FLAIR MR image.
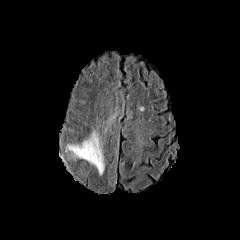
T1-weighted MR.
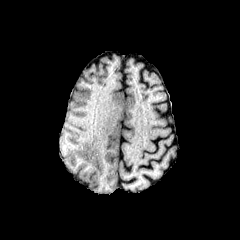
Post-contrast T1-weighted MR image.
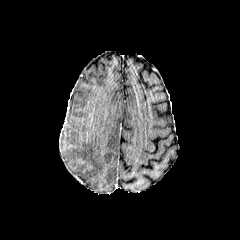
T2-weighted MR.
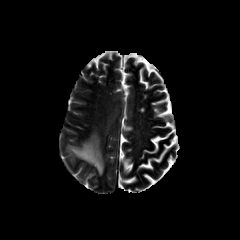
The peritumoral edema lies within 67, 132, 104, 174.